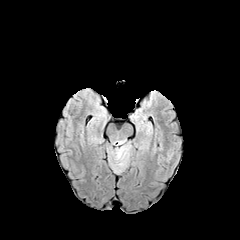
FLAIR MRI.
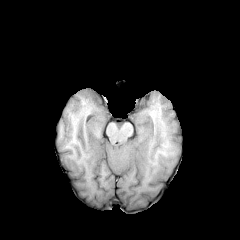
T1-weighted MR image.
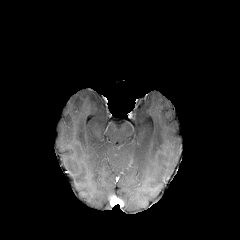
Post-contrast T1-weighted magnetic resonance.
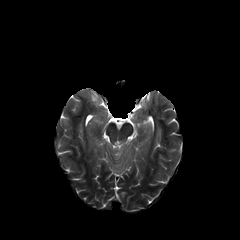
T2-weighted magnetic resonance.
Axial view. Head.
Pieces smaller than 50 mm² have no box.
peritumoral_edema:
  - 115,145,130,170